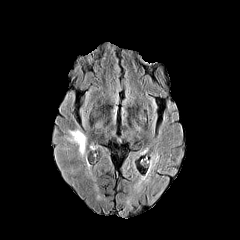
FLAIR MRI.
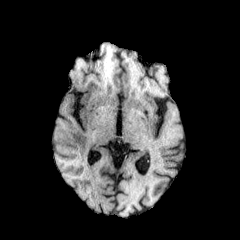
T1-weighted MR of the same slice.
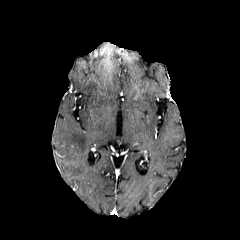
Post-contrast T1-weighted MR image.
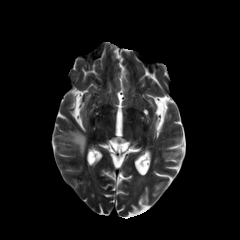
T2-weighted MR.
Brain
<segmentation>
  <peritumoral_edema>{"x1": 67, "y1": 130, "x2": 86, "y2": 155}</peritumoral_edema>
</segmentation>